FLAIR MRI.
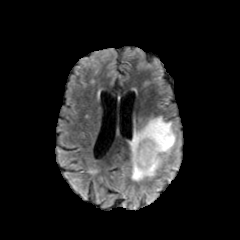
T1-weighted magnetic resonance.
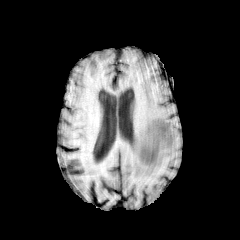
Post-contrast T1-weighted magnetic resonance.
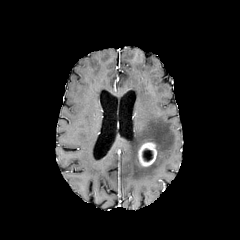
T2-weighted MR.
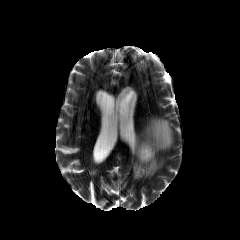
Head
necrotic tumor core at bbox(142, 149, 152, 161)
peritumoral edema at bbox(130, 117, 175, 180)
enhancing tumor at bbox(138, 142, 157, 166)